Axial slice
FLAIR MRI.
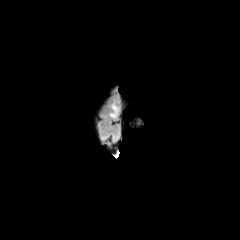
T1-weighted magnetic resonance.
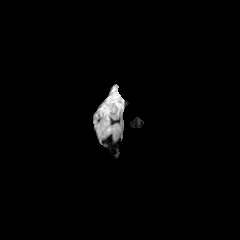
Post-contrast T1-weighted MR.
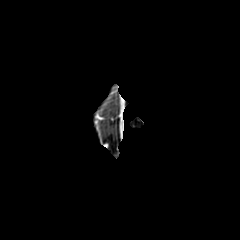
T2-weighted MR image.
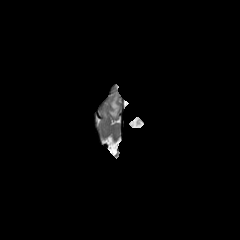
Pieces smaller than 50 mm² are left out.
{
  "peritumoral_edema": [
    "109, 98, 119, 118"
  ]
}